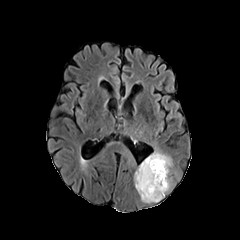
FLAIR magnetic resonance.
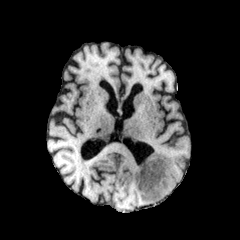
T1-weighted MRI.
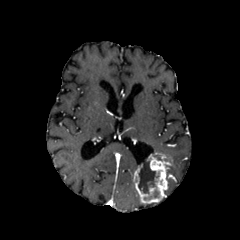
Post-contrast T1-weighted MRI.
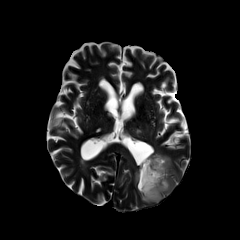
Same slice, T2-weighted magnetic resonance.
Axial plane
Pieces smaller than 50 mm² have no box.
Findings:
• necrotic tumor core: l=138, t=159, r=158, b=197
• peritumoral edema: l=165, t=179, r=173, b=191
• enhancing tumor: l=133, t=153, r=172, b=203